FLAIR MR image.
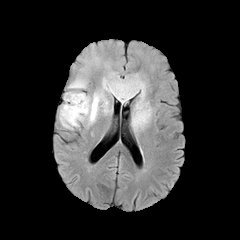
T1-weighted MR.
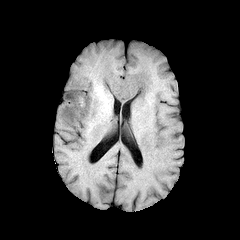
Post-contrast T1-weighted MRI.
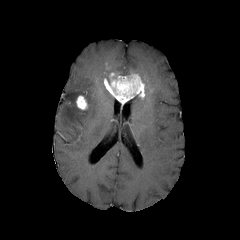
T2-weighted MRI.
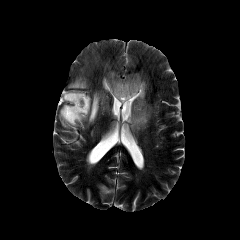
Brain
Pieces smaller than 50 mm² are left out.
Annotated regions:
- peritumoral edema: box(59, 62, 113, 129); box(136, 73, 148, 94); box(93, 56, 99, 65); box(131, 96, 152, 131)
- enhancing tumor: box(104, 72, 146, 104); box(76, 95, 88, 110)